FLAIR magnetic resonance.
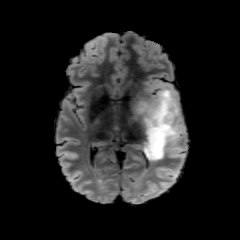
T1-weighted MRI.
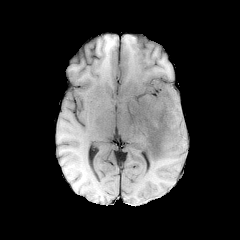
Post-contrast T1-weighted MR.
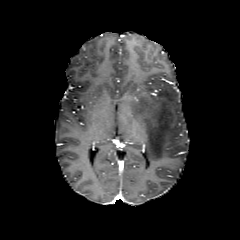
T2-weighted magnetic resonance.
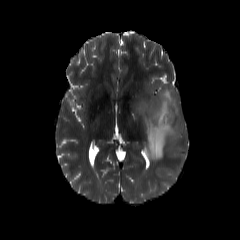
Head; 240x240; Axial plane
• peritumoral edema: (x1=136, y1=85, x2=185, y2=160)